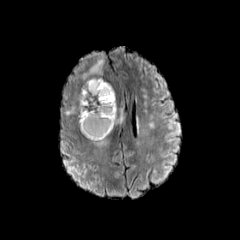
FLAIR MR image.
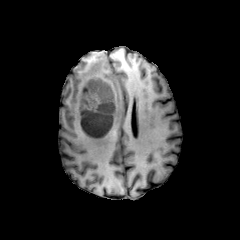
T1-weighted magnetic resonance.
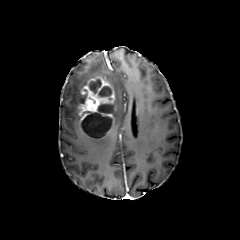
Post-contrast T1-weighted MRI.
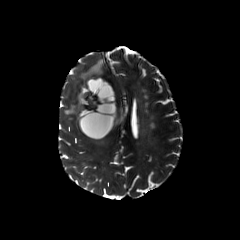
T2-weighted MR.
Head; 240x240 px; Axial slice
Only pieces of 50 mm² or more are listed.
necrotic tumor core: box(98, 86, 111, 96); box(89, 79, 101, 93); box(81, 104, 113, 138) | enhancing tumor: box(78, 76, 115, 135) | peritumoral edema: box(65, 58, 104, 123); box(114, 90, 125, 124)